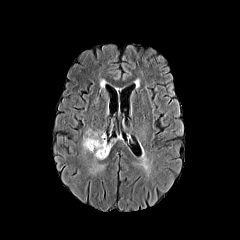
FLAIR MR.
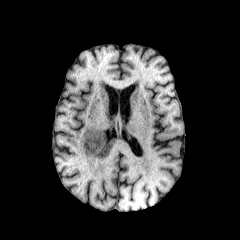
T1-weighted MRI.
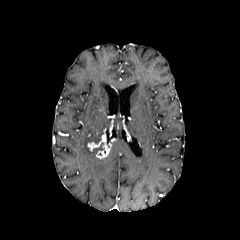
Post-contrast T1-weighted MRI of the same slice.
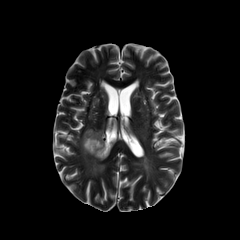
T2-weighted MR image of the same slice.
Axial view.
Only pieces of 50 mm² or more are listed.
The largest enhancing tumor region appears at bbox=[87, 134, 111, 158]. The 2 largest peritumoral edema regions are bounded by bbox=[82, 128, 106, 151]; bbox=[91, 164, 106, 172]. The largest necrotic tumor core region is at bbox=[93, 142, 104, 153].